Image width 240 mm | Image size 240x240
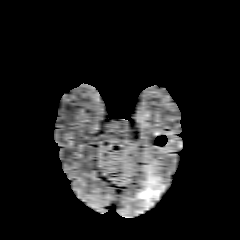
FLAIR MRI.
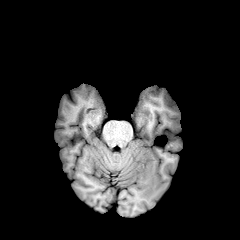
Same slice, T1-weighted MR.
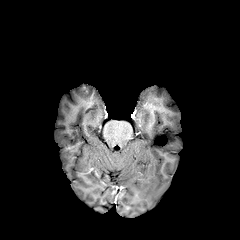
Post-contrast T1-weighted magnetic resonance.
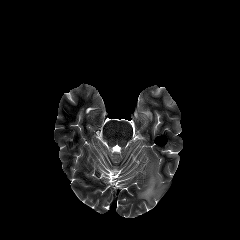
T2-weighted MRI.
{"peritumoral_edema": ["box=[136, 162, 165, 208]"]}